Head. Axial view.
FLAIR MR.
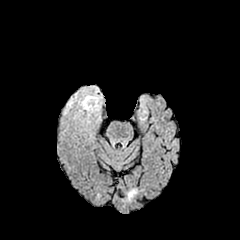
T1-weighted MR image.
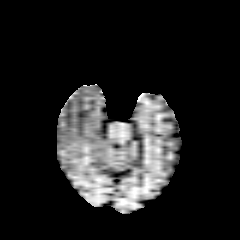
Post-contrast T1-weighted MR.
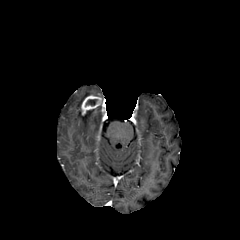
T2-weighted MR image.
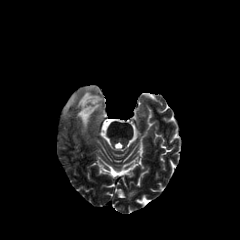
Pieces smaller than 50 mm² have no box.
peritumoral_edema:
  - bbox(75, 110, 93, 125)
  - bbox(64, 87, 98, 114)
necrotic_tumor_core:
  - bbox(86, 99, 96, 105)
enhancing_tumor:
  - bbox(79, 94, 101, 115)